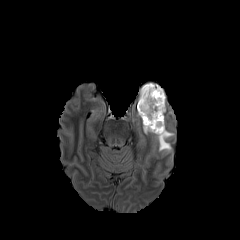
FLAIR MRI.
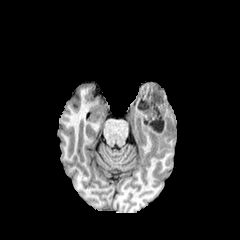
T1-weighted MR image of the same slice.
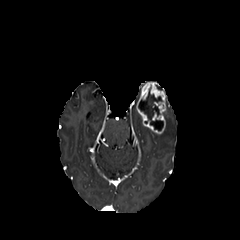
Post-contrast T1-weighted magnetic resonance of the same slice.
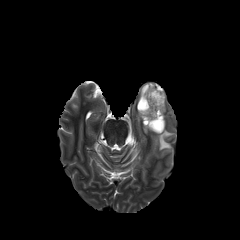
T2-weighted MRI.
Axial slice. Head. Image size 240x240.
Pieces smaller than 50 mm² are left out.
The largest necrotic tumor core region lies within <bbox>138, 87, 163, 130</bbox>. The largest peritumoral edema region is at <bbox>143, 126, 174, 154</bbox>. The enhancing tumor is at <bbox>136, 82, 166, 134</bbox>.